FLAIR magnetic resonance.
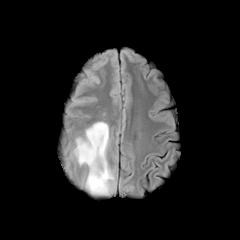
T1-weighted MRI.
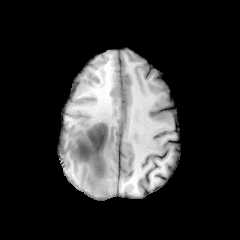
Post-contrast T1-weighted MRI.
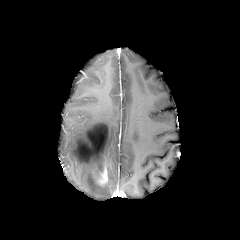
T2-weighted MR image.
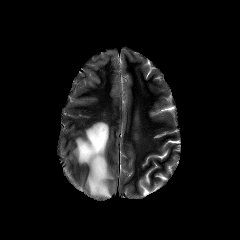
Head.
Annotated regions:
• peritumoral edema: <bbox>73, 122, 114, 195</bbox>
• enhancing tumor: <bbox>92, 160, 107, 184</bbox>